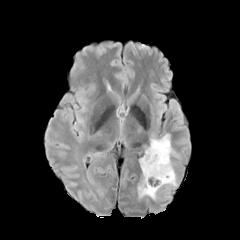
FLAIR magnetic resonance.
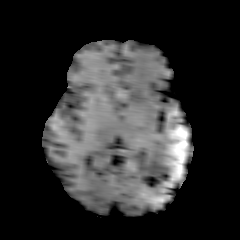
Same slice, T1-weighted MR.
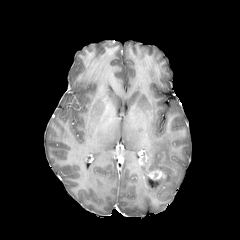
Post-contrast T1-weighted MRI.
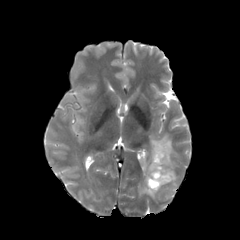
T2-weighted MR.
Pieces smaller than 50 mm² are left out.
The enhancing tumor is bounded by x1=148 y1=169 x2=166 y2=180. The largest peritumoral edema region is at x1=138 y1=132 x2=178 y2=198.